Head; Slice index 103; Image width 240 mm
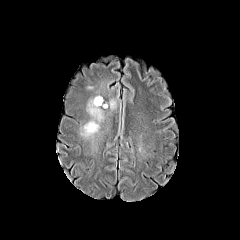
FLAIR MR.
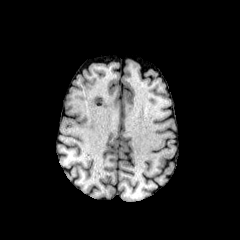
T1-weighted MR image of the same slice.
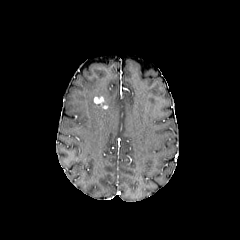
Post-contrast T1-weighted magnetic resonance of the same slice.
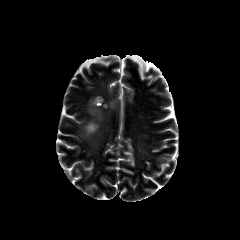
T2-weighted magnetic resonance of the same slice.
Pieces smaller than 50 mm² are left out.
{
  "peritumoral_edema": [
    "[x1=81, y1=120, x2=99, y2=137]",
    "[x1=87, y1=98, x2=103, y2=121]",
    "[x1=109, y1=100, x2=115, y2=108]"
  ],
  "enhancing_tumor": [
    "[x1=94, y1=97, x2=103, y2=105]"
  ]
}